Brain | Axial plane | Slice index 123
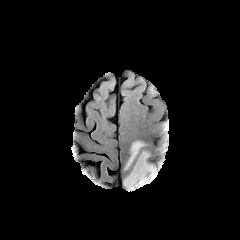
FLAIR MRI.
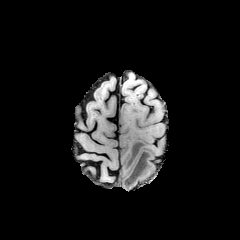
T1-weighted MR image of the same slice.
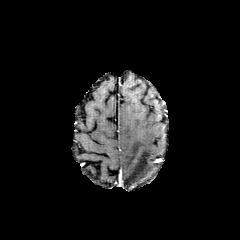
Post-contrast T1-weighted magnetic resonance of the same slice.
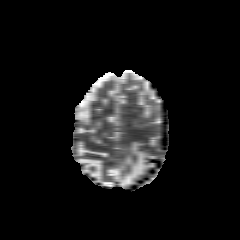
Same slice, T2-weighted MR.
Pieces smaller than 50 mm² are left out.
The largest peritumoral edema region is at 123, 141, 153, 188.